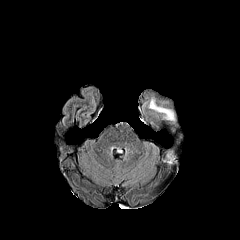
FLAIR MR.
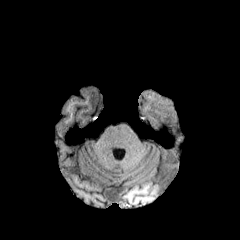
T1-weighted MRI.
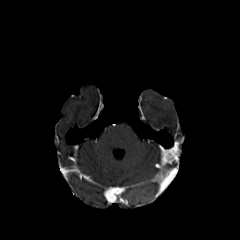
Post-contrast T1-weighted MR.
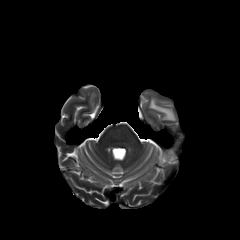
T2-weighted MR image.
Head.
Annotated regions:
• enhancing tumor: {"x1": 163, "y1": 140, "x2": 182, "y2": 164}
• peritumoral edema: {"x1": 149, "y1": 96, "x2": 175, "y2": 123}